FLAIR MRI.
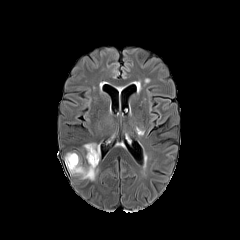
T1-weighted magnetic resonance.
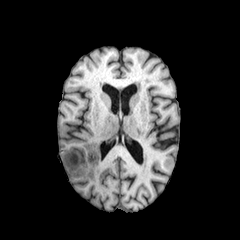
Post-contrast T1-weighted magnetic resonance.
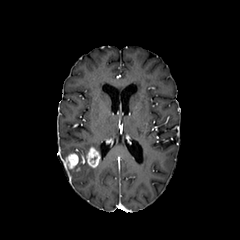
T2-weighted MR image.
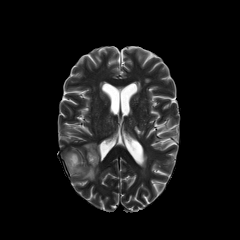
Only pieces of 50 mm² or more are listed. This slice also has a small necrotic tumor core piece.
Annotated regions:
• peritumoral edema: rect(84, 143, 99, 153); rect(68, 158, 98, 180)
• enhancing tumor: rect(86, 147, 100, 167); rect(65, 153, 78, 169)